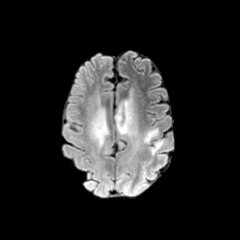
FLAIR magnetic resonance.
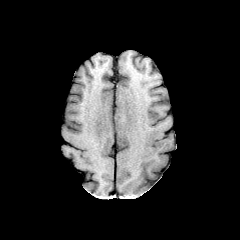
T1-weighted MR of the same slice.
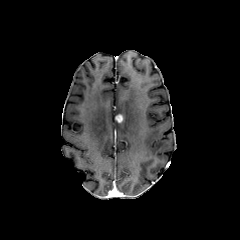
Same slice, post-contrast T1-weighted magnetic resonance.
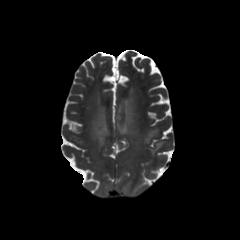
T2-weighted MRI.
Axial plane. Brain.
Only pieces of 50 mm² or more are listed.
* enhancing tumor: box=[115, 114, 122, 122]
* peritumoral edema: box=[90, 98, 108, 146]; box=[117, 97, 136, 137]; box=[144, 129, 158, 143]